Slice 93 of 155, Brain
FLAIR MR image.
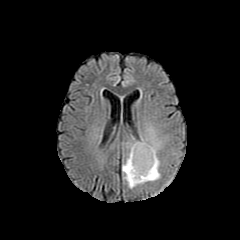
T1-weighted MR.
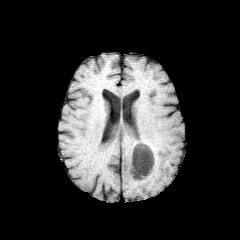
Post-contrast T1-weighted MR image.
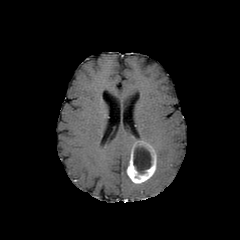
T2-weighted MRI.
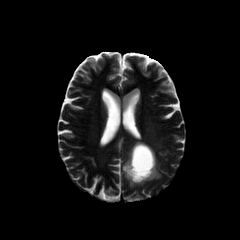
* enhancing tumor: <box>126,141,156,183</box>
* peritumoral edema: <box>140,127,162,154</box>, <box>122,141,160,188</box>
* necrotic tumor core: <box>133,146,151,173</box>